Head. Slice index 64.
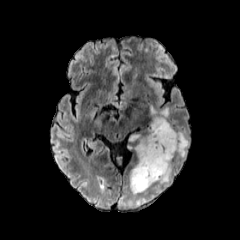
FLAIR MR.
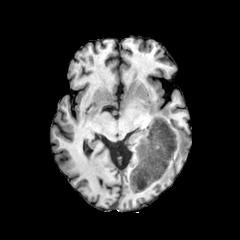
T1-weighted magnetic resonance.
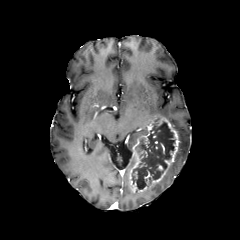
Post-contrast T1-weighted MRI of the same slice.
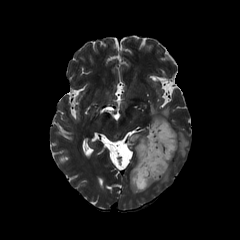
T2-weighted MR image.
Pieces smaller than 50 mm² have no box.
enhancing tumor: bounding box box=[129, 115, 179, 192]
peritumoral edema: bounding box box=[129, 134, 140, 141]; box=[159, 163, 172, 183]; box=[160, 107, 169, 118]; box=[176, 131, 189, 158]
necrotic tumor core: bounding box box=[132, 122, 174, 189]